FLAIR MRI.
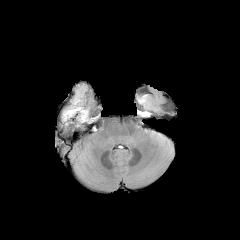
T1-weighted MRI.
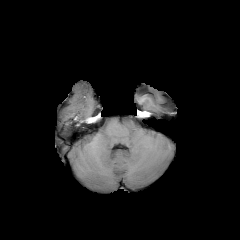
Post-contrast T1-weighted magnetic resonance.
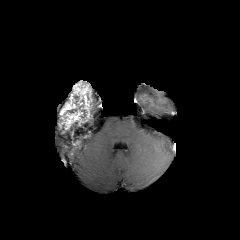
T2-weighted MRI.
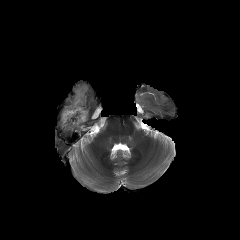
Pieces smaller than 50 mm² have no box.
enhancing tumor: (59, 82, 92, 129) | necrotic tumor core: (71, 121, 83, 127)